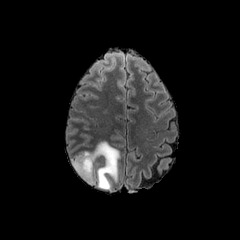
FLAIR MR image.
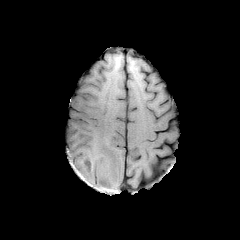
Same slice, T1-weighted MRI.
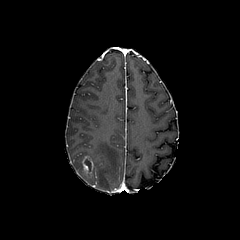
Post-contrast T1-weighted magnetic resonance of the same slice.
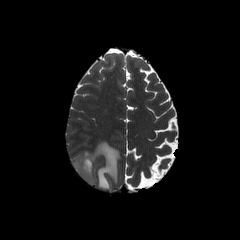
T2-weighted MRI of the same slice.
240x240, Axial slice
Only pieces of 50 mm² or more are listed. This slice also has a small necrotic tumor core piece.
peritumoral edema at [71,141,120,189]
enhancing tumor at [82,155,93,174]